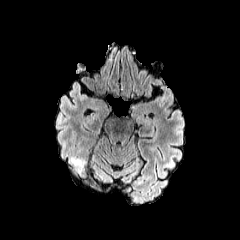
FLAIR MRI.
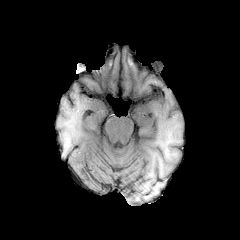
T1-weighted MR.
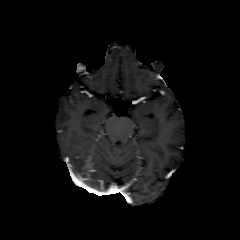
Same slice, post-contrast T1-weighted MR.
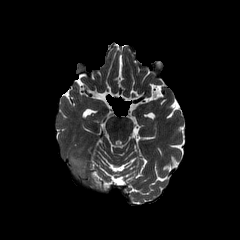
T2-weighted magnetic resonance of the same slice.
240x240. Brain.
peritumoral edema at l=71, t=157, r=84, b=170